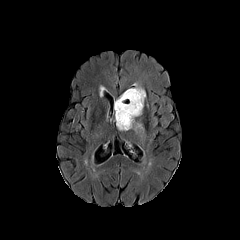
FLAIR MR.
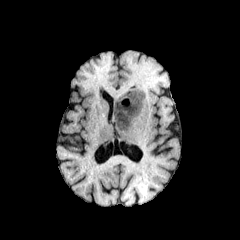
Same slice, T1-weighted MR.
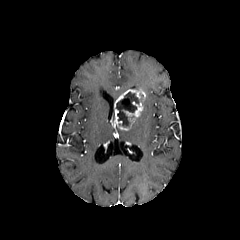
Post-contrast T1-weighted MRI of the same slice.
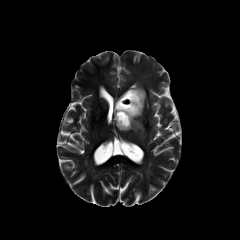
T2-weighted MR.
Image size 240x240, Brain
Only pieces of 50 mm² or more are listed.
enhancing tumor = (left=114, top=89, right=145, bottom=130)
necrotic tumor core = (left=116, top=91, right=139, bottom=127)
peritumoral edema = (left=131, top=83, right=145, bottom=92), (left=131, top=121, right=143, bottom=132)